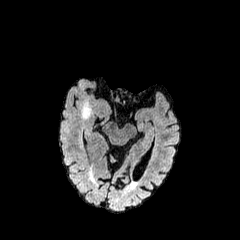
FLAIR magnetic resonance.
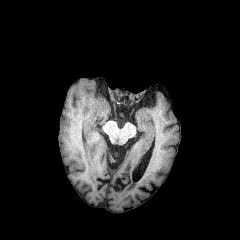
T1-weighted MR.
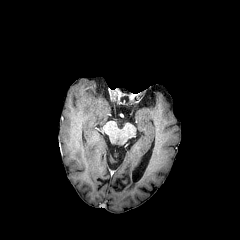
Post-contrast T1-weighted magnetic resonance of the same slice.
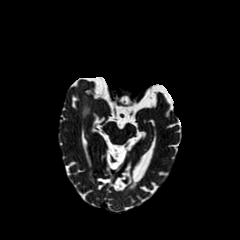
T2-weighted MR image.
Head | Axial view
peritumoral edema: {"x1": 82, "y1": 103, "x2": 90, "y2": 118}